Image size 240x240
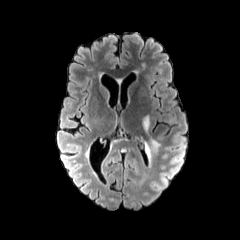
FLAIR magnetic resonance.
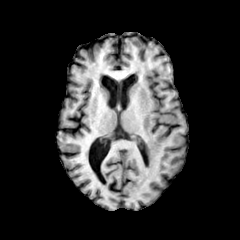
T1-weighted MRI.
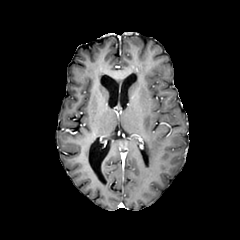
Same slice, post-contrast T1-weighted MRI.
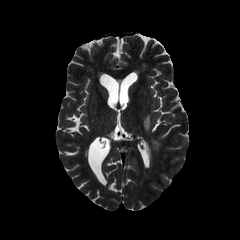
T2-weighted magnetic resonance.
The peritumoral edema lies within l=143, t=115, r=159, b=166.